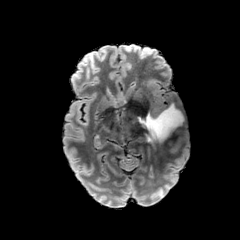
FLAIR magnetic resonance.
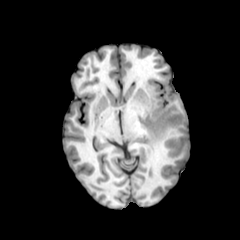
Same slice, T1-weighted MRI.
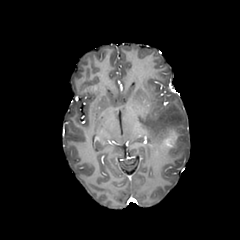
Post-contrast T1-weighted MR.
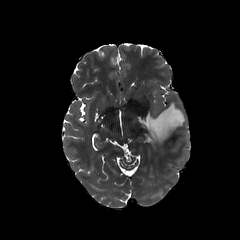
Same slice, T2-weighted MR.
The peritumoral edema is located at rect(137, 103, 184, 142). The enhancing tumor appears at rect(164, 132, 174, 147).